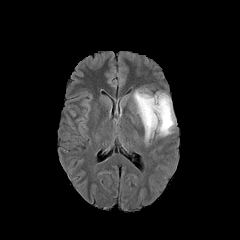
FLAIR MR image.
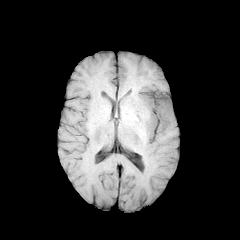
Same slice, T1-weighted MR image.
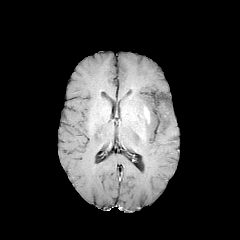
Post-contrast T1-weighted MR.
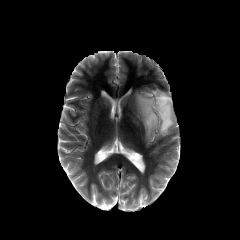
T2-weighted MRI.
Brain
The enhancing tumor is located at region(144, 107, 149, 122). The peritumoral edema is located at region(134, 90, 175, 141).